FLAIR MRI.
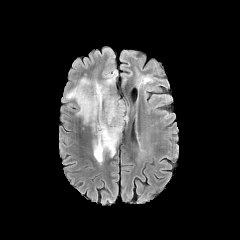
T1-weighted MR image.
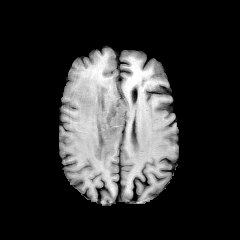
Post-contrast T1-weighted MR image.
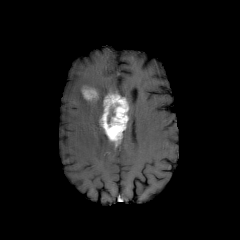
T2-weighted MRI.
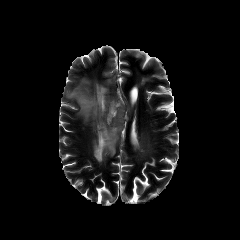
2 peritumoral edema regions appear at 66:78:115:162, 105:78:113:85. The necrotic tumor core is located at 107:103:120:124. 2 enhancing tumor regions are located at 81:84:98:102, 99:93:129:146.